FLAIR MRI.
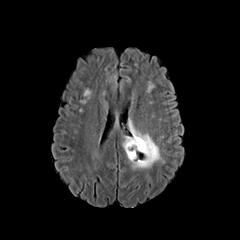
T1-weighted magnetic resonance.
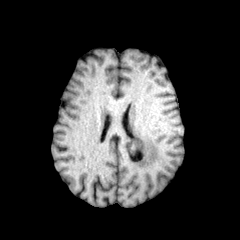
Post-contrast T1-weighted MR image.
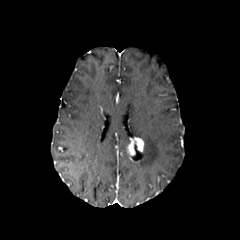
T2-weighted MR image.
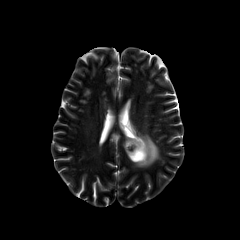
Brain
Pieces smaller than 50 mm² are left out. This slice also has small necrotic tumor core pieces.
{"enhancing_tumor": ["x1=127, y1=137, x2=144, y2=159"], "peritumoral_edema": ["x1=122, y1=120, x2=161, y2=168"]}